Head.
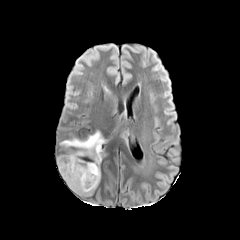
FLAIR magnetic resonance.
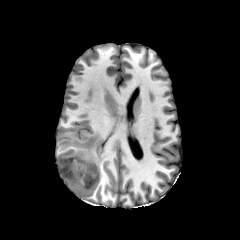
T1-weighted MR.
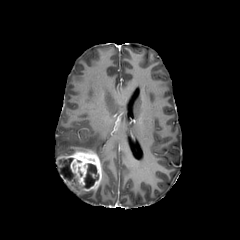
Same slice, post-contrast T1-weighted magnetic resonance.
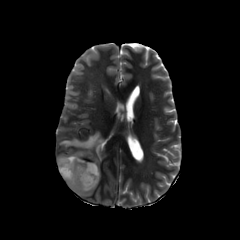
Same slice, T2-weighted magnetic resonance.
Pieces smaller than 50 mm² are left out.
Annotated regions:
* enhancing tumor: (x1=56, y1=150, x2=101, y2=193)
* peritumoral edema: (x1=59, y1=131, x2=105, y2=161)
* necrotic tumor core: (x1=58, y1=158, x2=78, y2=188), (x1=83, y1=163, x2=98, y2=188)